Slice 34/155; Image width 240 mm, 1.00 mm slice spacing
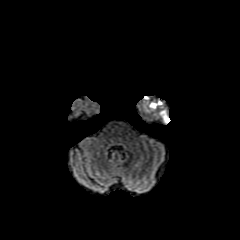
FLAIR MR image.
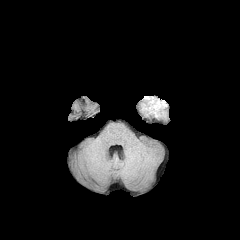
T1-weighted MRI.
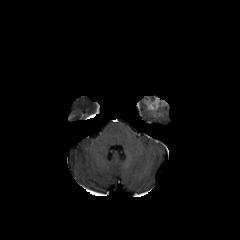
Post-contrast T1-weighted MRI.
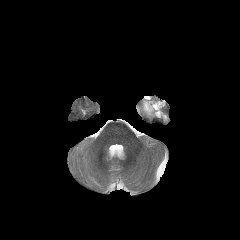
T2-weighted MR image of the same slice.
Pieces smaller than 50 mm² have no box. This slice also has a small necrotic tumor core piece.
peritumoral edema: bounding box (153,110,169,123)
enhancing tumor: bounding box (145,99,163,111)